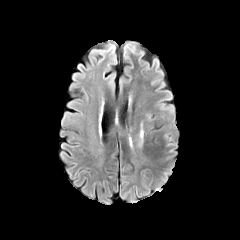
FLAIR MR.
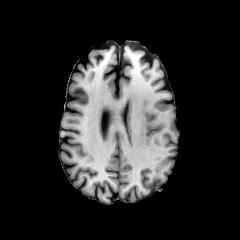
T1-weighted magnetic resonance.
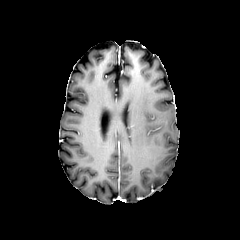
Post-contrast T1-weighted MR of the same slice.
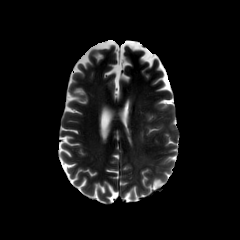
T2-weighted MRI of the same slice.
Axial plane.
Findings:
- peritumoral edema: region(140, 128, 143, 144)